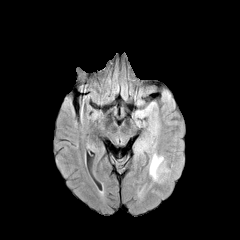
FLAIR MRI.
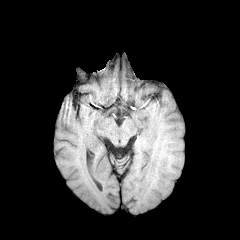
T1-weighted MRI of the same slice.
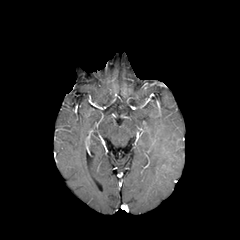
Same slice, post-contrast T1-weighted magnetic resonance.
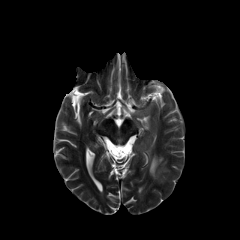
Same slice, T2-weighted MR.
Axial view | 240x240 px
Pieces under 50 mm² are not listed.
The 2 largest peritumoral edema regions are bounded by bbox(133, 102, 160, 152); bbox(149, 153, 167, 180).